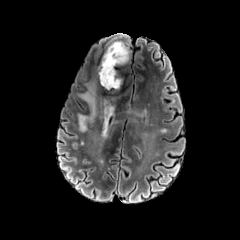
FLAIR MR image.
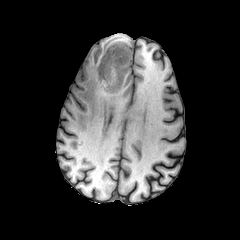
T1-weighted MRI.
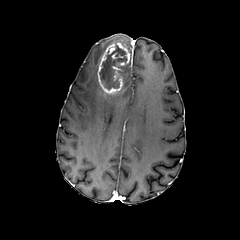
Post-contrast T1-weighted MRI.
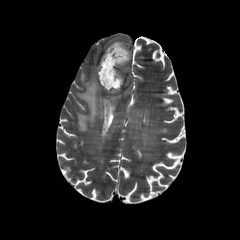
Same slice, T2-weighted MR.
240x240
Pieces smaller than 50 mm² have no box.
<segmentation>
  <peritumoral_edema>77,82,118,132</peritumoral_edema>
  <necrotic_tumor_core>99,45,126,89</necrotic_tumor_core>
  <enhancing_tumor>97,42,130,94</enhancing_tumor>
</segmentation>